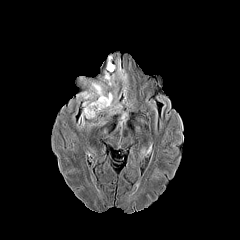
FLAIR MRI.
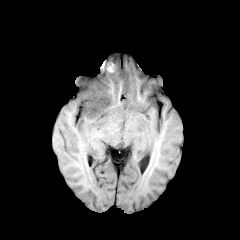
T1-weighted MR of the same slice.
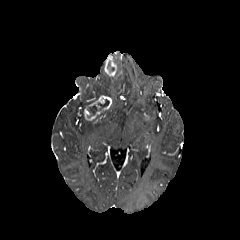
Post-contrast T1-weighted magnetic resonance.
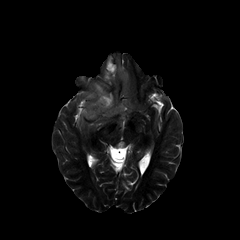
T2-weighted MR of the same slice.
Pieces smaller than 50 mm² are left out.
Annotated regions:
* necrotic tumor core: 88, 99, 109, 115
* enhancing tumor: 105, 56, 117, 76; 83, 95, 112, 120
* peritumoral edema: 81, 91, 93, 99; 80, 113, 105, 127; 104, 52, 127, 85; 91, 83, 127, 125